Brain. Axial plane. Slice index 75.
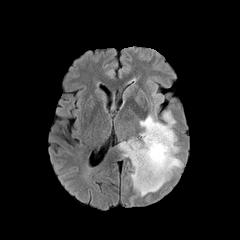
FLAIR MR image.
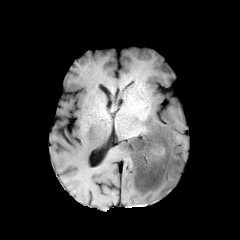
T1-weighted MRI of the same slice.
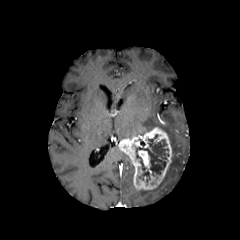
Same slice, post-contrast T1-weighted MR.
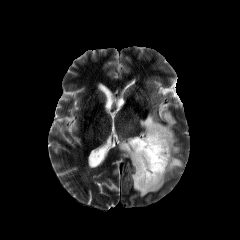
T2-weighted MRI.
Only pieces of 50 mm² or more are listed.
{
  "necrotic_tumor_core": [
    "136 154 149 179",
    "136 139 168 175"
  ],
  "peritumoral_edema": [
    "134 111 182 196"
  ],
  "enhancing_tumor": [
    "119 127 172 190"
  ]
}